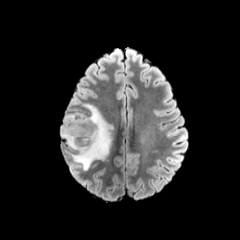
FLAIR magnetic resonance.
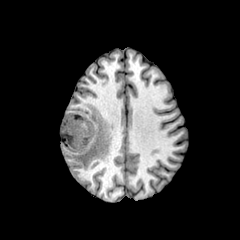
T1-weighted MR image.
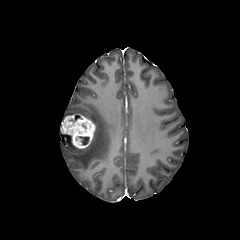
Post-contrast T1-weighted MR image.
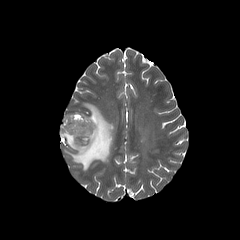
Same slice, T2-weighted MR.
240x240 px, Axial plane, Brain
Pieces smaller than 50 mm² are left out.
<segmentation>
  <enhancing_tumor>bbox(60, 114, 95, 149)</enhancing_tumor>
  <necrotic_tumor_core>bbox(79, 136, 89, 144)</necrotic_tumor_core>
  <peritumoral_edema>bbox(60, 104, 112, 170)</peritumoral_edema>
</segmentation>